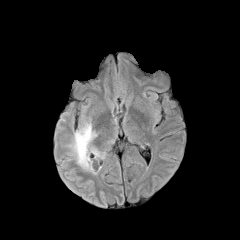
FLAIR MRI.
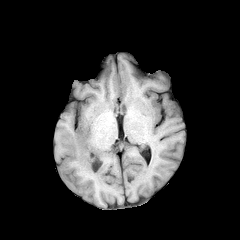
T1-weighted magnetic resonance.
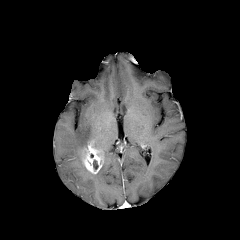
Post-contrast T1-weighted MR image.
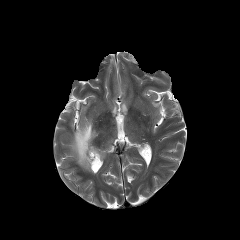
T2-weighted MR of the same slice.
Image size 240x240, Brain
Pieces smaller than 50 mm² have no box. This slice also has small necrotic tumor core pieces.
The enhancing tumor is bounded by box=[80, 143, 102, 173]. The largest peritumoral edema region appears at box=[69, 119, 97, 170].